FLAIR MR.
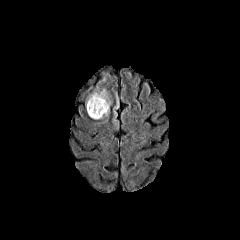
T1-weighted MR.
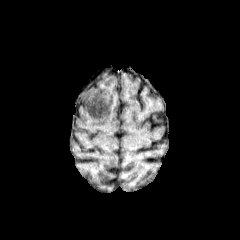
Post-contrast T1-weighted magnetic resonance.
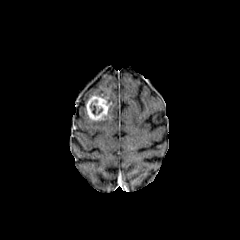
T2-weighted magnetic resonance.
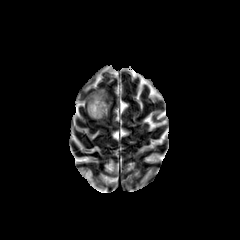
Axial slice
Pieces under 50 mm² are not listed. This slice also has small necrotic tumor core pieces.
enhancing tumor: bounding box box=[86, 95, 111, 120]
peritumoral edema: bounding box box=[112, 91, 119, 129]